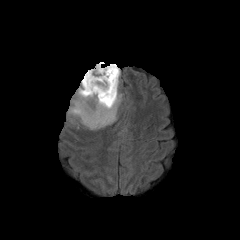
FLAIR MRI.
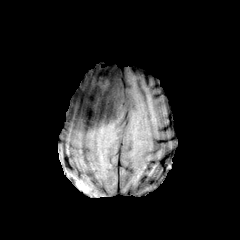
Same slice, T1-weighted MRI.
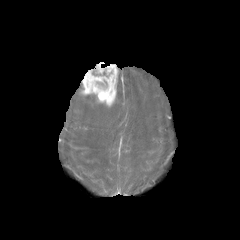
Same slice, post-contrast T1-weighted MRI.
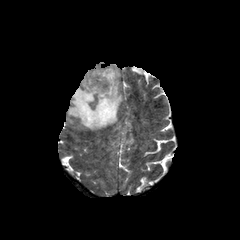
Same slice, T2-weighted magnetic resonance.
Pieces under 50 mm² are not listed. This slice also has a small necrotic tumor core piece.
The enhancing tumor is at <box>80,62,118,106</box>. The peritumoral edema is at <box>67,68,122,130</box>.